Brain; Slice 41 of 155; Image size 240x240
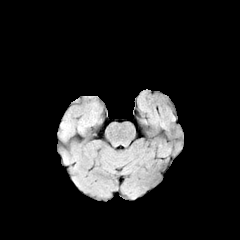
FLAIR MR.
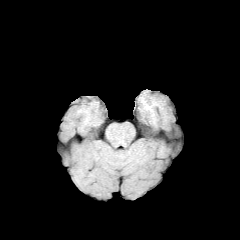
T1-weighted MR image.
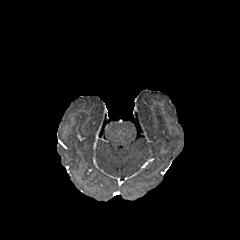
Post-contrast T1-weighted MR image.
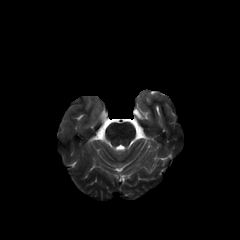
Same slice, T2-weighted MRI.
The peritumoral edema is located at {"x1": 61, "y1": 123, "x2": 69, "y2": 136}.